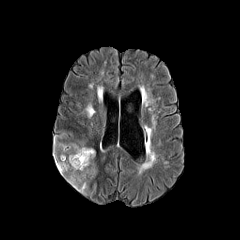
FLAIR MR.
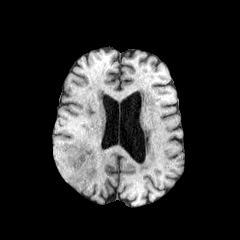
T1-weighted MRI.
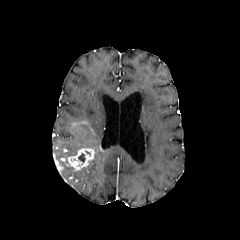
Post-contrast T1-weighted magnetic resonance.
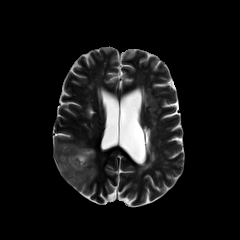
T2-weighted MR.
Brain, Axial view, 240x240
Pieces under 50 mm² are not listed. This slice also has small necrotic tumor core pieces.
Annotated regions:
• peritumoral edema: x1=54 y1=137 x2=95 y2=193
• enhancing tumor: x1=61 y1=148 x2=94 y2=170